FLAIR MRI.
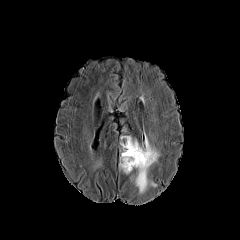
T1-weighted MR.
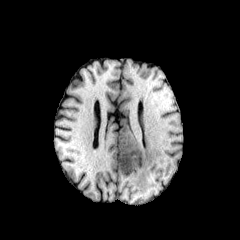
Post-contrast T1-weighted MRI.
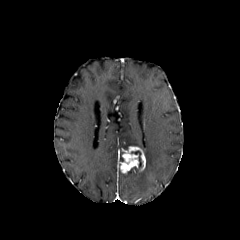
T2-weighted magnetic resonance.
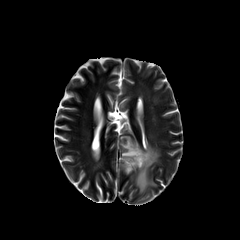
Axial view. Brain.
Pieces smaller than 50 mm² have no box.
peritumoral edema — [x1=135, y1=137, x2=159, y2=193], [x1=121, y1=136, x2=139, y2=149]
enhancing tumor — [x1=120, y1=146, x2=145, y2=174]
necrotic tumor core — [x1=131, y1=151, x2=141, y2=167]